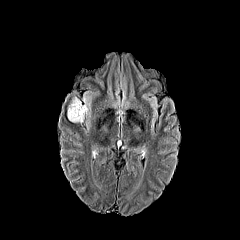
FLAIR MR.
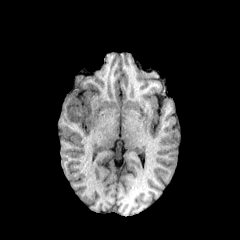
T1-weighted MRI of the same slice.
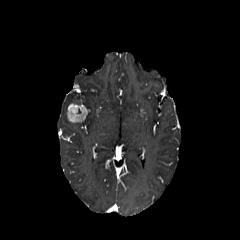
Post-contrast T1-weighted MR.
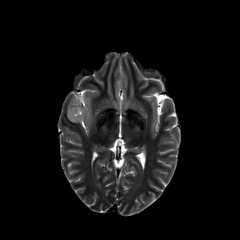
T2-weighted MRI.
Axial plane.
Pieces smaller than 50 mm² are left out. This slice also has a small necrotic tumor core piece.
The enhancing tumor is at bbox(67, 103, 87, 122). The largest peritumoral edema region appears at bbox(83, 96, 90, 108).